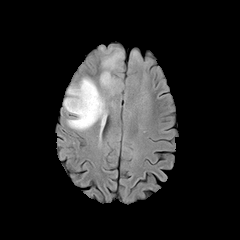
FLAIR MR.
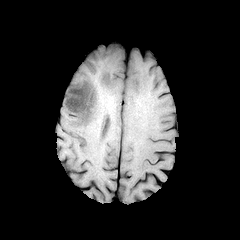
T1-weighted MRI of the same slice.
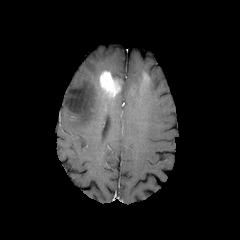
Post-contrast T1-weighted magnetic resonance of the same slice.
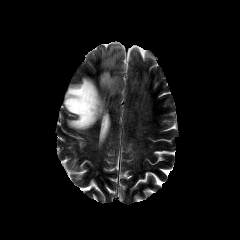
T2-weighted magnetic resonance.
Axial view. Brain. 240x240.
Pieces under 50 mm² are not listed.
Findings:
- enhancing tumor: x1=99, y1=71, x2=121, y2=96
- peritumoral edema: x1=63, y1=77, x2=107, y2=130; x1=102, y1=47, x2=122, y2=71